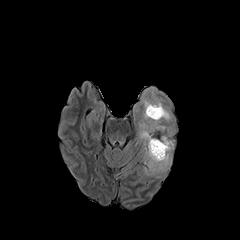
FLAIR magnetic resonance.
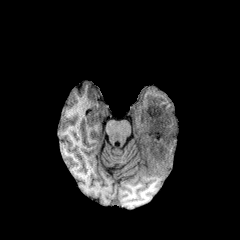
Same slice, T1-weighted MRI.
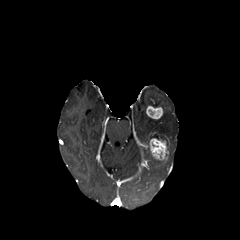
Post-contrast T1-weighted MR.
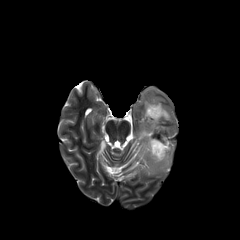
T2-weighted MRI.
Axial slice; Head
<segmentation>
  <peritumoral_edema>(135,87,171,177)</peritumoral_edema>
  <enhancing_tumor>(146,105,163,119), (148,138,167,160)</enhancing_tumor>
</segmentation>